Image covers 240 mm x 240 mm
FLAIR MR.
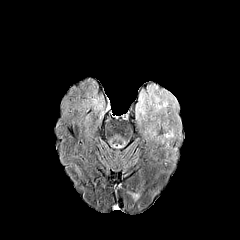
T1-weighted MRI.
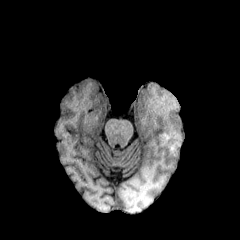
Post-contrast T1-weighted MR.
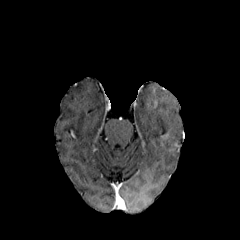
T2-weighted magnetic resonance.
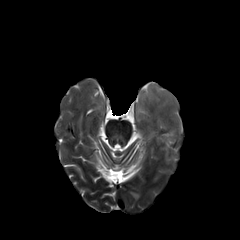
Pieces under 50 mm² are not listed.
<segmentation>
  <peritumoral_edema>{"x1": 135, "y1": 85, "x2": 181, "y2": 142}</peritumoral_edema>
</segmentation>